Slice 67/155 | Head
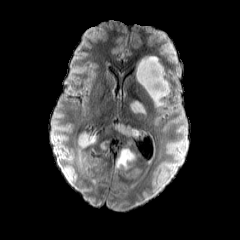
FLAIR magnetic resonance.
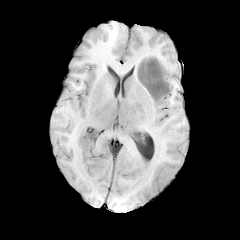
T1-weighted MR.
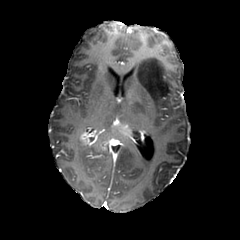
Post-contrast T1-weighted MRI.
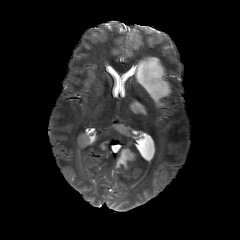
T2-weighted magnetic resonance.
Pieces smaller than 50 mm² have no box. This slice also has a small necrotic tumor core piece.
peritumoral edema: bounding box [116,148,136,168], [130,100,145,114], [136,56,170,106]
enhancing tumor: bounding box [111,120,133,137], [79,132,97,145]